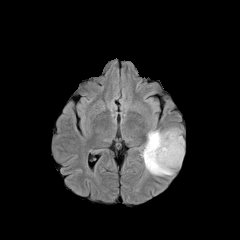
FLAIR magnetic resonance.
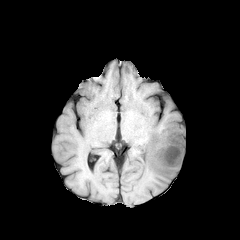
Same slice, T1-weighted magnetic resonance.
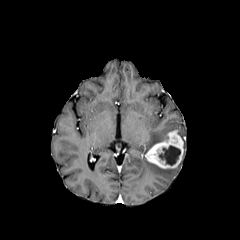
Post-contrast T1-weighted MR image of the same slice.
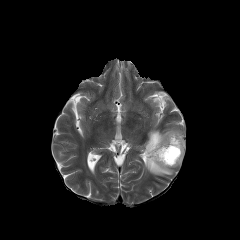
T2-weighted MR.
Axial view. Brain.
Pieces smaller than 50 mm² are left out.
necrotic tumor core: 159, 146, 180, 165
enhancing tumor: 145, 130, 183, 168
peritumoral edema: 142, 128, 181, 175